Image size 240x240, Slice 65/155, Axial view
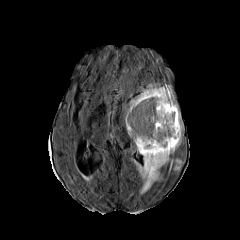
FLAIR MR.
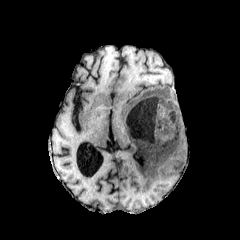
T1-weighted magnetic resonance.
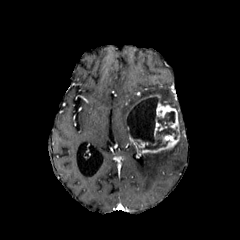
Post-contrast T1-weighted MR of the same slice.
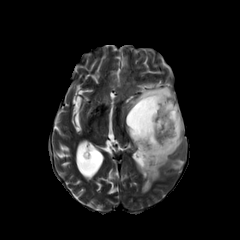
T2-weighted MR of the same slice.
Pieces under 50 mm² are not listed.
necrotic_tumor_core:
  - [x1=126, y1=97, x2=178, y2=149]
peritumoral_edema:
  - [x1=126, y1=84, x2=177, y2=113]
  - [x1=175, y1=159, x2=183, y2=169]
  - [x1=135, y1=137, x2=181, y2=193]
enhancing_tumor:
  - [x1=129, y1=94, x2=180, y2=154]